Slice index 105; Image width 240 mm
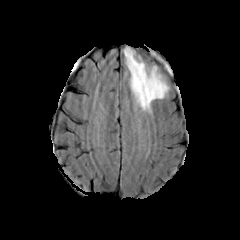
FLAIR MR image.
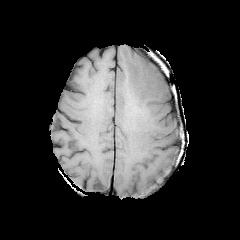
Same slice, T1-weighted MR image.
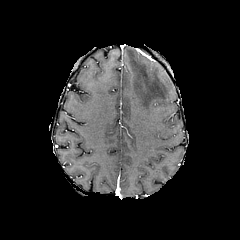
Post-contrast T1-weighted MR image.
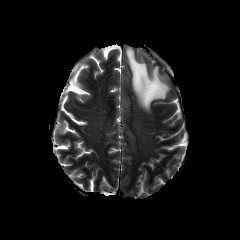
Same slice, T2-weighted magnetic resonance.
<segmentation>
  <peritumoral_edema>x1=124, y1=47, x2=168, y2=112</peritumoral_edema>
</segmentation>